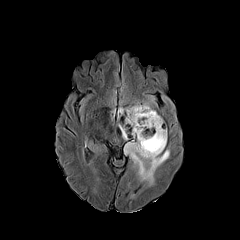
FLAIR MR image.
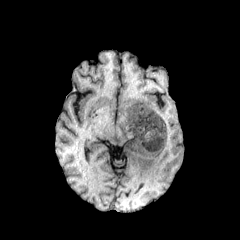
T1-weighted MRI.
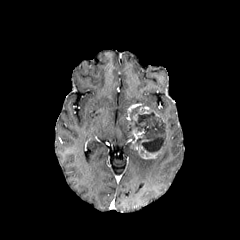
Post-contrast T1-weighted magnetic resonance.
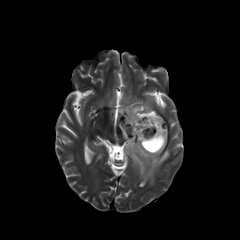
Same slice, T2-weighted MR image.
Brain
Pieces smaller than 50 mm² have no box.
necrotic tumor core: x1=130 y1=106 x2=165 y2=152 | peritumoral edema: x1=119 y1=106 x2=128 y2=114, x1=119 y1=124 x2=127 y2=140, x1=87 y1=139 x2=99 y2=156, x1=124 y1=141 x2=172 y2=188, x1=143 y1=98 x2=151 y2=109 | enhancing tumor: x1=130 y1=128 x2=163 y2=159, x1=126 y1=103 x2=141 y2=125, x1=138 y1=106 x2=159 y2=116